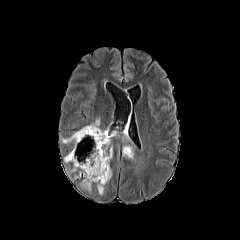
FLAIR MR image.
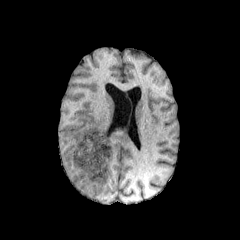
T1-weighted MRI.
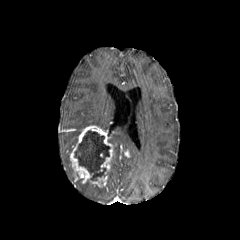
Post-contrast T1-weighted MR.
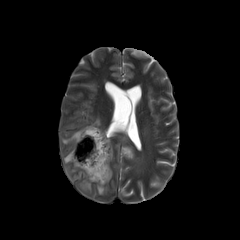
T2-weighted MR of the same slice.
Axial view | Head
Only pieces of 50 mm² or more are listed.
peritumoral edema: bounding box box(80, 182, 91, 192); box(97, 186, 104, 194); box(62, 129, 81, 144); box(122, 145, 134, 159)
enhancing tumor: bounding box box(123, 149, 130, 157); box(70, 125, 113, 187)
necrotic tumor core: bounding box box(75, 130, 110, 180)